Head; Axial plane; Image width 240 mm, 1.00 mm slice spacing
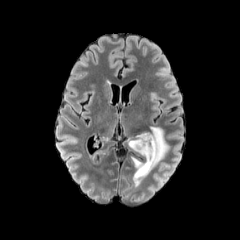
FLAIR magnetic resonance.
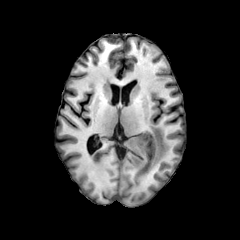
T1-weighted MRI of the same slice.
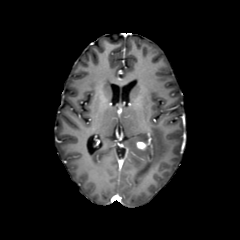
Same slice, post-contrast T1-weighted MR image.
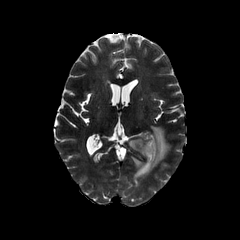
Same slice, T2-weighted MR.
Segmented structures:
* peritumoral edema: l=125, t=126, r=169, b=186
* enhancing tumor: l=136, t=141, r=147, b=149